Brain, Slice index 88, 240x240 px
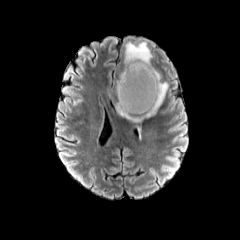
FLAIR MR.
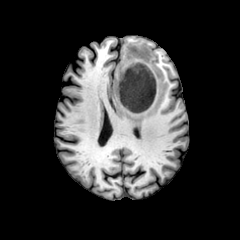
Same slice, T1-weighted magnetic resonance.
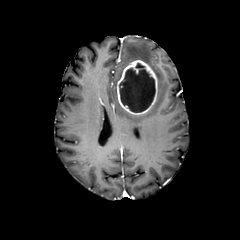
Post-contrast T1-weighted MR image.
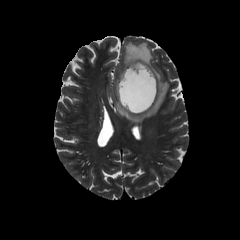
Same slice, T2-weighted magnetic resonance.
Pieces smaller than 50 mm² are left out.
peritumoral edema: bounding box rect(124, 42, 152, 66); rect(115, 67, 168, 122)
necrotic tumor core: bounding box rect(119, 63, 155, 112)
enhancing tumor: bounding box rect(117, 60, 157, 115)